Slice index 81
FLAIR MR image.
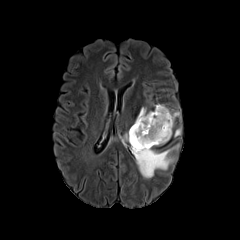
T1-weighted MR image.
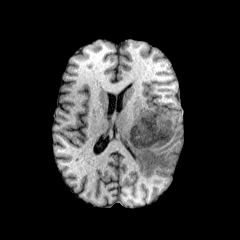
Post-contrast T1-weighted MRI.
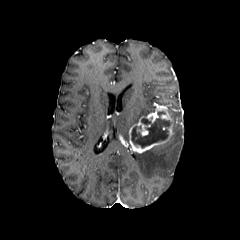
T2-weighted MR.
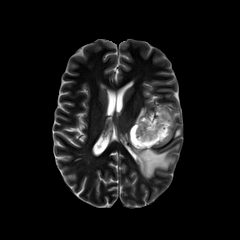
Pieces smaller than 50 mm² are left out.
- peritumoral edema: 134, 107, 147, 123; 169, 111, 179, 123; 132, 144, 179, 178
- necrotic tumor core: 131, 111, 170, 147
- enhancing tumor: 129, 105, 173, 153